Axial view | Slice 78/155
FLAIR MR.
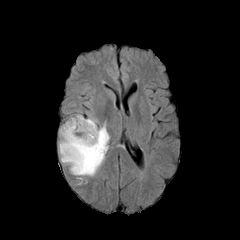
T1-weighted MRI.
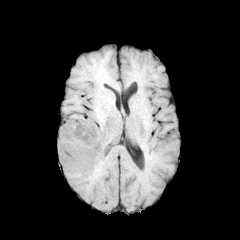
Post-contrast T1-weighted MR image.
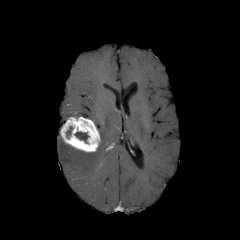
T2-weighted MR.
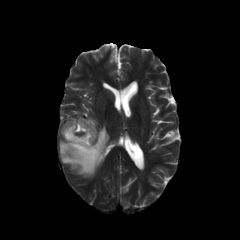
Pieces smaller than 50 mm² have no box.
enhancing tumor: left=60, top=116, right=100, bottom=152 | peritumoral edema: left=59, top=123, right=109, bottom=176 | necrotic tumor core: left=75, top=132, right=88, bottom=142